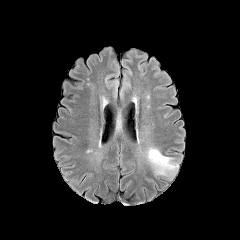
FLAIR magnetic resonance.
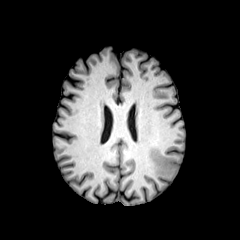
T1-weighted magnetic resonance.
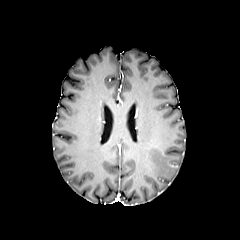
Post-contrast T1-weighted MR.
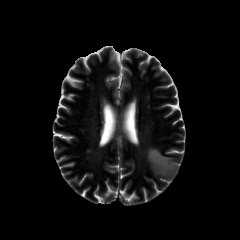
T2-weighted MRI.
Head, 240x240 px
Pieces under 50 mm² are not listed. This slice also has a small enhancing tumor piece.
The peritumoral edema is at (146, 147, 180, 179).